Brain. Axial slice.
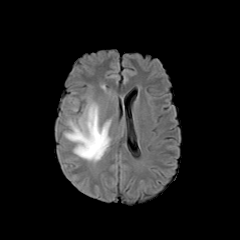
FLAIR MRI.
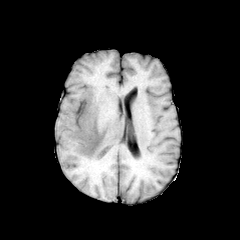
T1-weighted MRI.
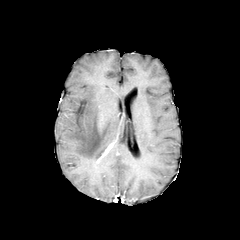
Post-contrast T1-weighted MR image.
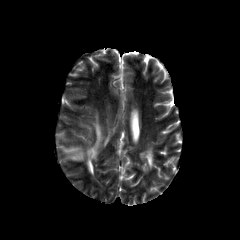
Same slice, T2-weighted MR image.
The peritumoral edema is at bbox(64, 103, 111, 162).